Slice 28 of 155
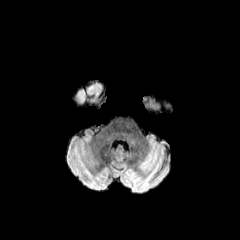
FLAIR MR image.
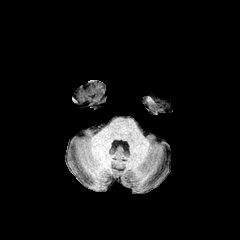
Same slice, T1-weighted MR.
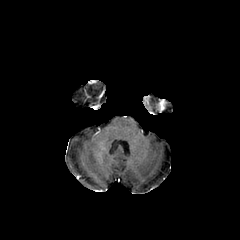
Post-contrast T1-weighted MR.
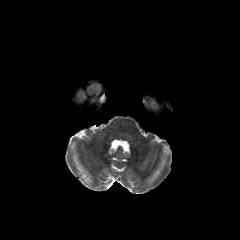
T2-weighted MR.
peritumoral_edema:
  - box=[73, 81, 103, 107]